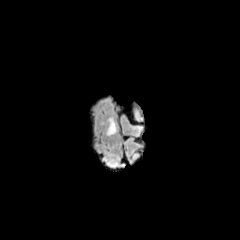
FLAIR MR image.
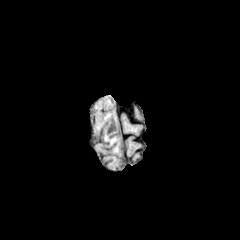
T1-weighted MR of the same slice.
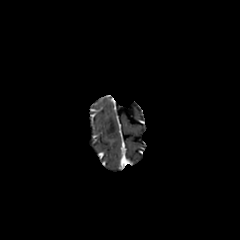
Post-contrast T1-weighted MR image.
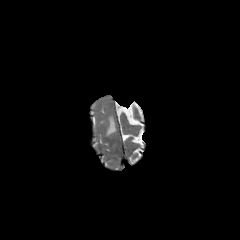
T2-weighted MR.
Axial view.
Segmented structures:
* peritumoral edema: (left=107, top=117, right=116, bottom=135)